FLAIR MRI.
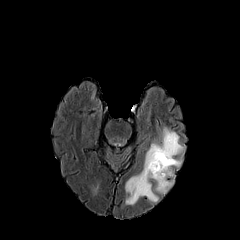
T1-weighted magnetic resonance.
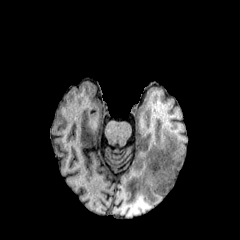
Post-contrast T1-weighted MR image.
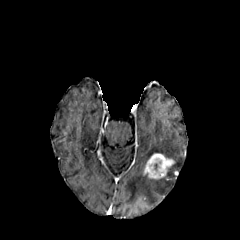
T2-weighted MR.
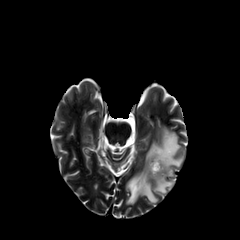
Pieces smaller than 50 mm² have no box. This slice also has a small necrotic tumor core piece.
<segmentation>
  <peritumoral_edema>125, 127, 183, 204</peritumoral_edema>
  <enhancing_tumor>143, 153, 174, 179</enhancing_tumor>
</segmentation>